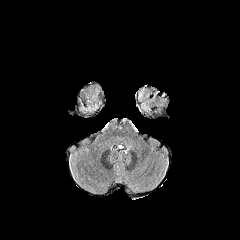
FLAIR MR image.
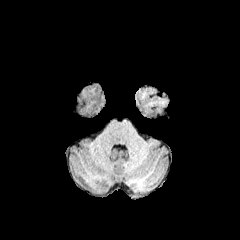
T1-weighted MRI.
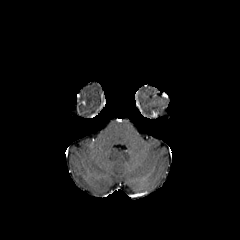
Post-contrast T1-weighted MR.
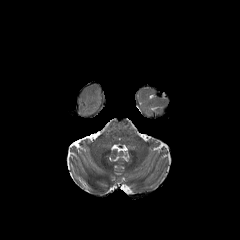
T2-weighted MR of the same slice.
Head.
The peritumoral edema is at x1=80, y1=105, x2=96, y2=112.